Head; Slice 104/155; Axial plane
FLAIR MR image.
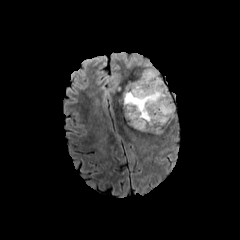
T1-weighted MR image.
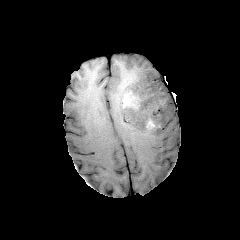
Post-contrast T1-weighted MRI.
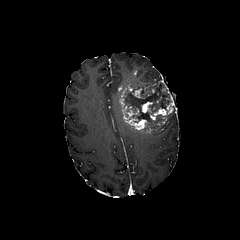
T2-weighted MRI.
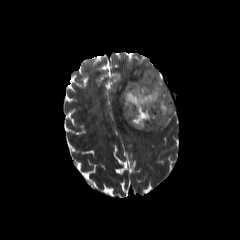
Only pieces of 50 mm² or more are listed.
necrotic_tumor_core:
  - (124,77,170,126)
peritumoral_edema:
  - (142,68,159,79)
enhancing_tumor:
  - (142,101,152,112)
  - (119,73,175,133)
  - (132,88,144,98)